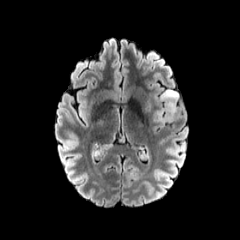
FLAIR MR image.
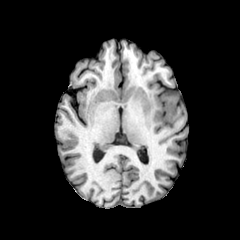
T1-weighted MRI.
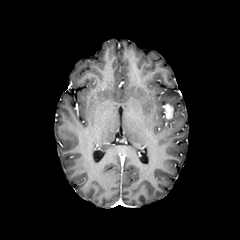
Post-contrast T1-weighted MR.
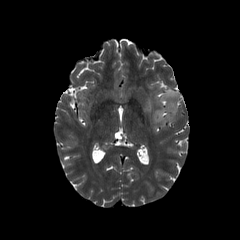
T2-weighted MR image.
Head, Axial slice
Segmented structures:
• enhancing tumor: x1=163 y1=103 x2=173 y2=119
• peritumoral edema: x1=154 y1=89 x2=179 y2=123